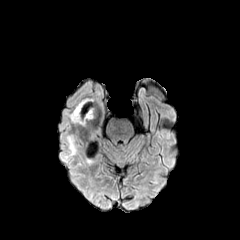
FLAIR MR image.
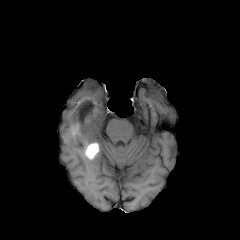
T1-weighted MRI.
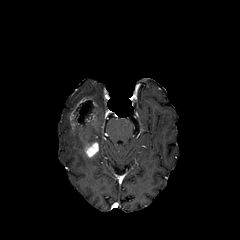
Post-contrast T1-weighted MR.
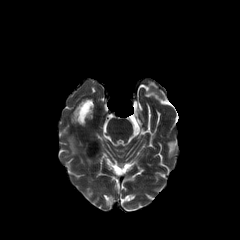
T2-weighted MRI of the same slice.
240x240.
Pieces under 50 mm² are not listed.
Annotated regions:
* enhancing tumor: box(69, 97, 101, 146)
* necrotic tumor core: box(76, 100, 94, 124)
* peritumoral edema: box(67, 136, 77, 155)